Image width 240 mm | Head
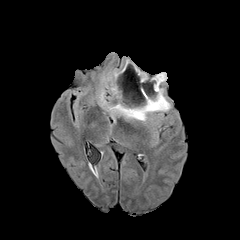
FLAIR MR.
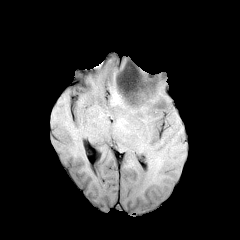
Same slice, T1-weighted MR.
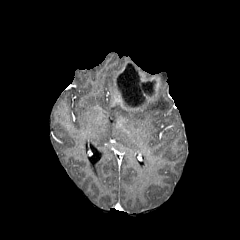
Post-contrast T1-weighted MR.
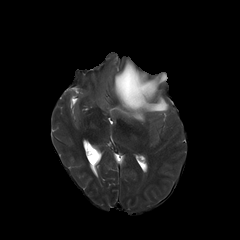
T2-weighted magnetic resonance of the same slice.
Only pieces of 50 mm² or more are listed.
enhancing tumor: l=116, t=61, r=160, b=95; l=114, t=78, r=153, b=110
necrotic tumor core: l=116, t=63, r=156, b=107
peritumoral edema: l=102, t=88, r=170, b=121; l=109, t=76, r=115, b=94; l=157, t=72, r=166, b=82